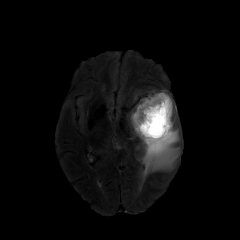
FLAIR MR image.
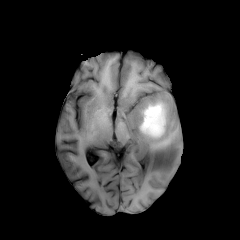
Same slice, T1-weighted magnetic resonance.
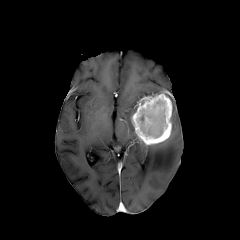
Post-contrast T1-weighted MR.
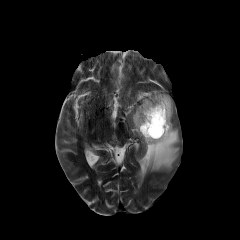
Same slice, T2-weighted magnetic resonance.
Brain
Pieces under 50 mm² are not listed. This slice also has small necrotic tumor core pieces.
<segmentation>
  <peritumoral_edema><box>130,104,137,135</box>, <box>139,89,180,178</box></peritumoral_edema>
  <enhancing_tumor><box>131,92,172,145</box></enhancing_tumor>
</segmentation>